Slice 75 of 155 | Brain
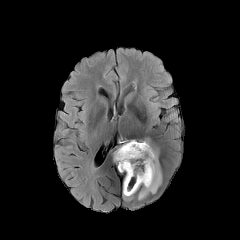
FLAIR MR.
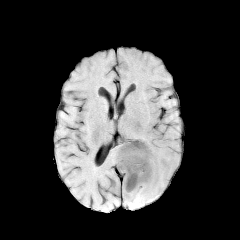
T1-weighted MR image.
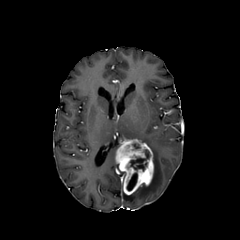
Post-contrast T1-weighted MRI of the same slice.
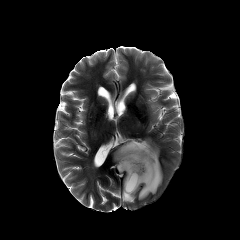
Same slice, T2-weighted MR.
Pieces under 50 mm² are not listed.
peritumoral edema: bounding box 123,189,137,201; 138,139,162,200
necrotic tumor core: bounding box 127,172,137,190; 130,149,149,170
enhancing tumor: bounding box 115,139,153,195